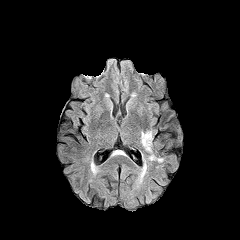
FLAIR MR.
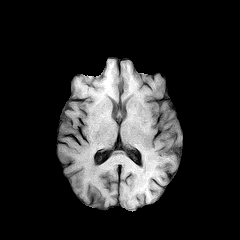
T1-weighted MR image.
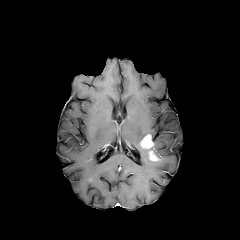
Post-contrast T1-weighted magnetic resonance.
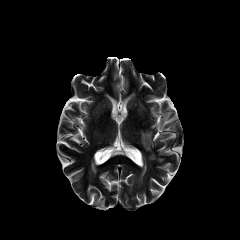
T2-weighted magnetic resonance.
Axial slice, Brain
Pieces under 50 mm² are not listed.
The 2 largest peritumoral edema regions appear at (141,161,147,176), (140,131,152,144). 2 enhancing tumor regions are bounded by (141,134,153,148), (149,151,159,160).